FLAIR MR image.
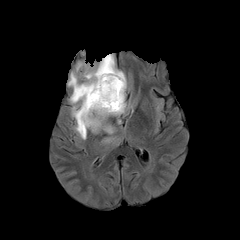
T1-weighted MRI.
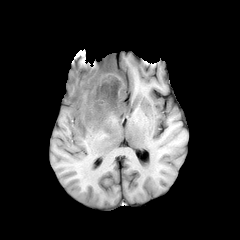
Post-contrast T1-weighted magnetic resonance.
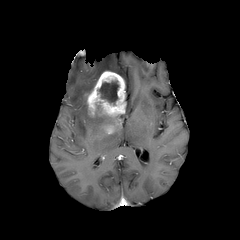
T2-weighted magnetic resonance.
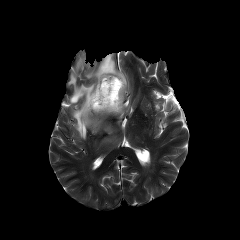
Brain
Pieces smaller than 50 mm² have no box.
<segmentation>
  <peritumoral_edema>(68, 54, 126, 139)</peritumoral_edema>
  <enhancing_tumor>(81, 71, 126, 117), (100, 124, 114, 134)</enhancing_tumor>
  <necrotic_tumor_core>(93, 79, 119, 109)</necrotic_tumor_core>
</segmentation>